FLAIR magnetic resonance.
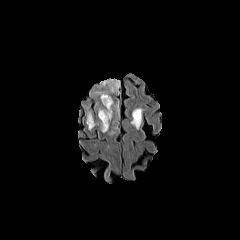
T1-weighted magnetic resonance.
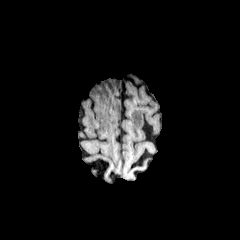
Post-contrast T1-weighted magnetic resonance.
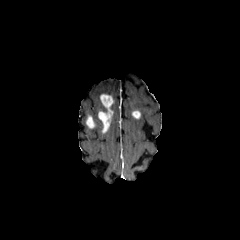
T2-weighted MR.
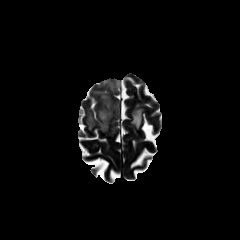
Head, Image size 240x240, Axial view
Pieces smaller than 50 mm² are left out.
{
  "peritumoral_edema": [
    "(left=85, top=106, right=93, bottom=119)",
    "(left=93, top=79, right=120, bottom=95)",
    "(left=114, top=101, right=119, bottom=116)",
    "(left=131, top=108, right=143, bottom=129)"
  ],
  "enhancing_tumor": [
    "(left=132, top=110, right=140, bottom=118)",
    "(left=86, top=115, right=94, bottom=128)",
    "(left=98, top=94, right=113, bottom=132)"
  ]
}